FLAIR MR image.
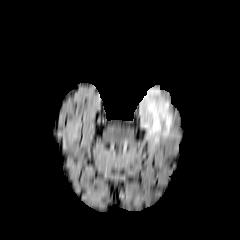
T1-weighted MR.
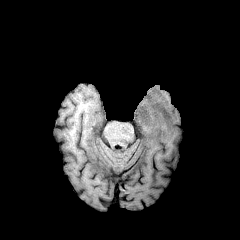
Post-contrast T1-weighted MR image.
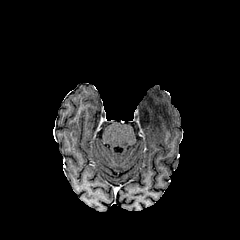
T2-weighted MR.
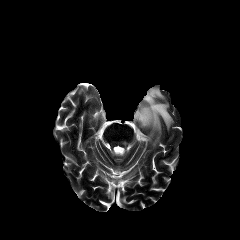
240x240; Axial plane
The peritumoral edema appears at (139,88,173,143).